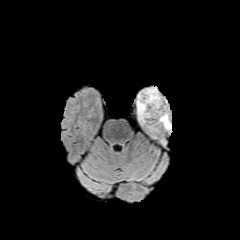
FLAIR MR.
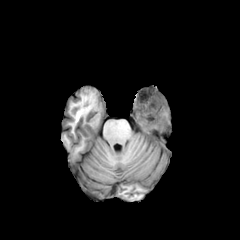
T1-weighted MR.
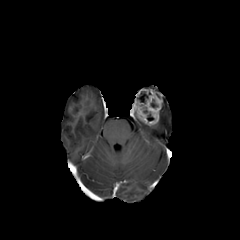
Same slice, post-contrast T1-weighted MRI.
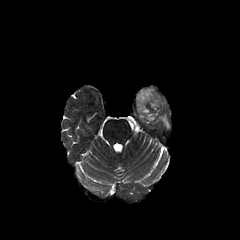
T2-weighted MR.
Image size 240x240; Brain; Axial slice
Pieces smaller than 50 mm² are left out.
{"enhancing_tumor": ["x1=133 y1=88 x2=162 y2=126"], "necrotic_tumor_core": ["x1=137 y1=92 x2=147 y2=102"], "peritumoral_edema": ["x1=159 y1=109 x2=171 y2=130"]}